FLAIR magnetic resonance.
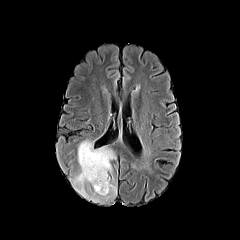
T1-weighted magnetic resonance.
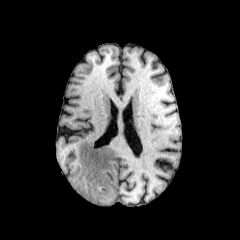
Post-contrast T1-weighted MR image.
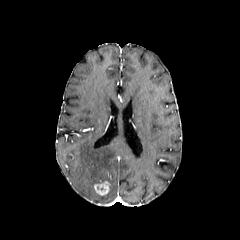
T2-weighted MRI.
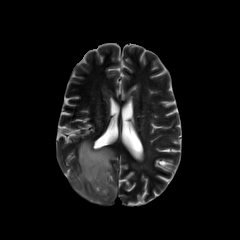
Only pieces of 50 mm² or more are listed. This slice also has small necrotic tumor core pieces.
enhancing tumor — box(94, 181, 110, 195)
peritumoral edema — box(72, 140, 117, 202)